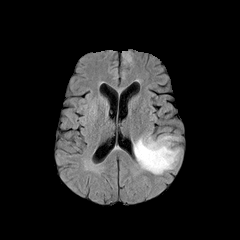
FLAIR MRI.
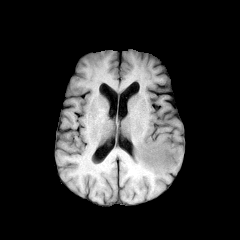
T1-weighted MR.
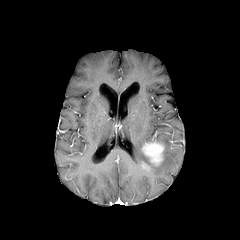
Post-contrast T1-weighted MR.
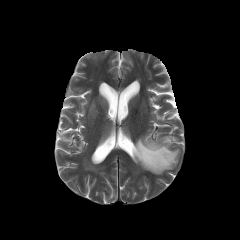
T2-weighted MR image.
Axial view | 240x240
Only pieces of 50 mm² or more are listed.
enhancing tumor: 142 142 164 165 | peritumoral edema: 126 53 132 61, 133 133 179 174